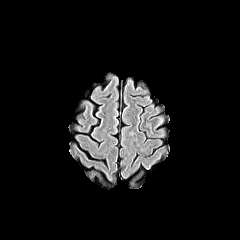
FLAIR MRI.
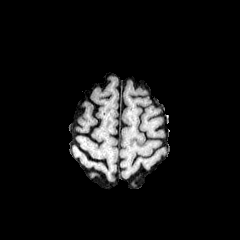
Same slice, T1-weighted MRI.
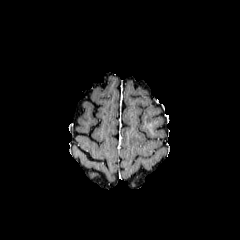
Post-contrast T1-weighted MR image of the same slice.
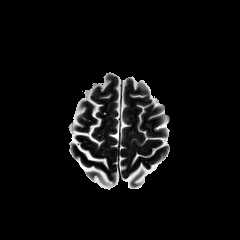
T2-weighted MR of the same slice.
Brain.
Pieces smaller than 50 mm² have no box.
The largest peritumoral edema region is located at box=[145, 122, 153, 134].